Brain.
FLAIR magnetic resonance.
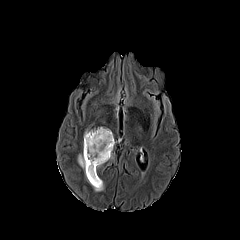
T1-weighted MR image.
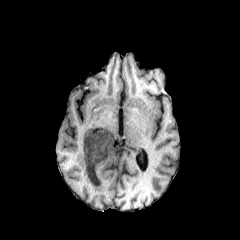
Post-contrast T1-weighted magnetic resonance.
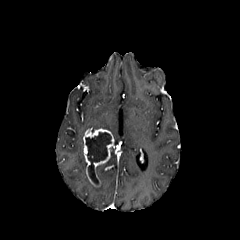
T2-weighted MR.
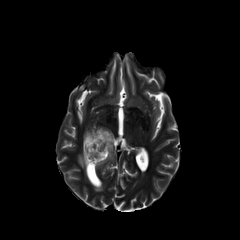
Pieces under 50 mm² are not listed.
<segmentation>
  <enhancing_tumor>box=[83, 128, 114, 187]</enhancing_tumor>
  <peritumoral_edema>box=[93, 180, 103, 191]; box=[77, 154, 86, 174]</peritumoral_edema>
  <necrotic_tumor_core>box=[85, 132, 111, 184]</necrotic_tumor_core>
</segmentation>